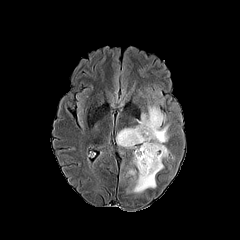
FLAIR MR.
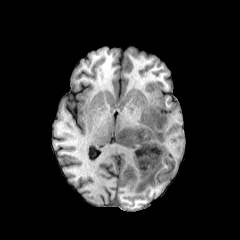
T1-weighted magnetic resonance of the same slice.
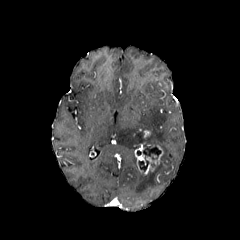
Post-contrast T1-weighted MR.
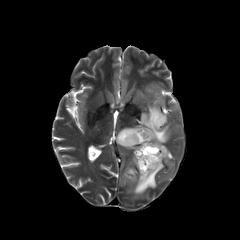
T2-weighted magnetic resonance of the same slice.
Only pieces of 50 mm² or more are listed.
Findings:
* necrotic tumor core: bbox(146, 147, 161, 157)
* enhancing tumor: bbox(134, 144, 163, 174); bbox(143, 130, 150, 138)
* peritumoral edema: bbox(116, 105, 169, 193)